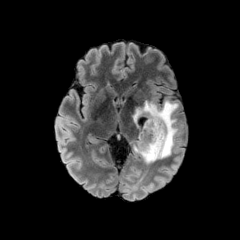
FLAIR MR image.
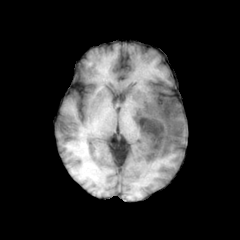
T1-weighted MR image.
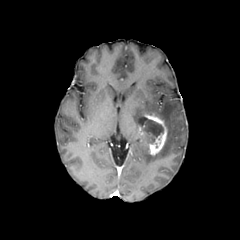
Post-contrast T1-weighted MR image.
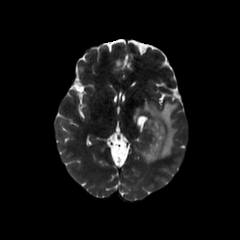
Same slice, T2-weighted MR image.
Head
The peritumoral edema is bounded by 133 100 178 162. The enhancing tumor is at 139 112 167 155. The necrotic tumor core appears at 144 119 163 143.